240x240 px
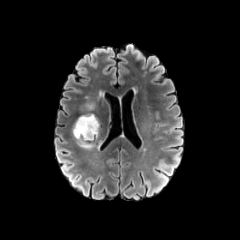
FLAIR magnetic resonance.
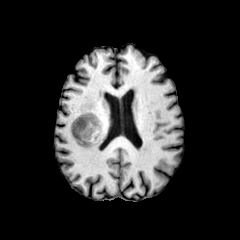
T1-weighted MRI.
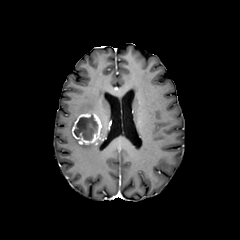
Post-contrast T1-weighted magnetic resonance.
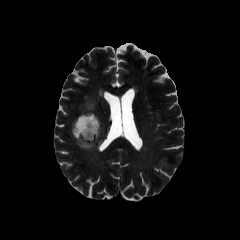
Same slice, T2-weighted MR image.
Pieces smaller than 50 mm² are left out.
The enhancing tumor appears at x1=72 y1=113 x2=101 y2=144. The necrotic tumor core is at x1=74 y1=115 x2=97 y2=140. The 2 largest peritumoral edema regions appear at x1=79 y1=143 x2=94 y2=148, x1=84 y1=101 x2=94 y2=109.